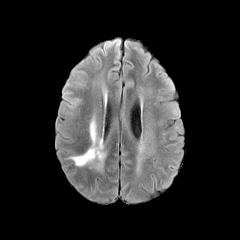
FLAIR magnetic resonance.
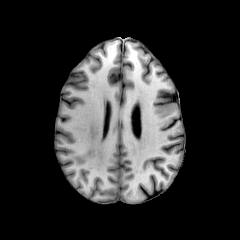
T1-weighted MR.
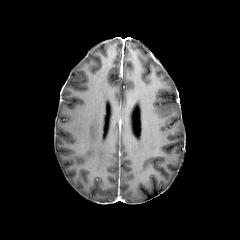
Post-contrast T1-weighted magnetic resonance.
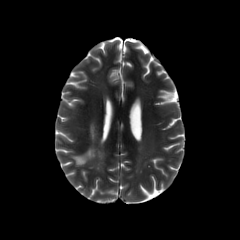
T2-weighted magnetic resonance.
Brain
peritumoral edema: (x1=71, y1=120, x2=104, y2=168)